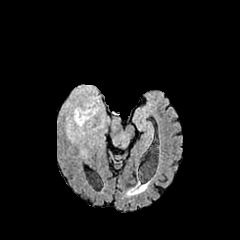
FLAIR MR.
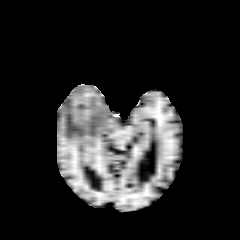
T1-weighted magnetic resonance.
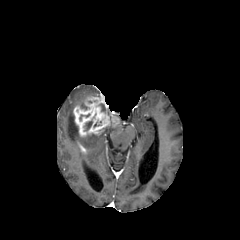
Same slice, post-contrast T1-weighted MRI.
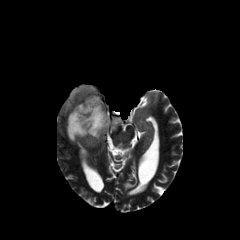
T2-weighted MRI.
Axial view; 240x240; Head
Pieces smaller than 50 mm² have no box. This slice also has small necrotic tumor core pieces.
peritumoral edema: l=66, t=112, r=82, b=142; l=70, t=86, r=95, b=100 | enhancing tumor: l=73, t=96, r=119, b=137